Axial view; Image width 240 mm, 1.00 mm slice spacing; Slice 67/155
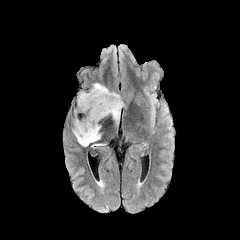
FLAIR magnetic resonance.
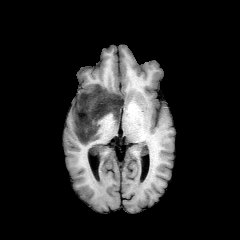
Same slice, T1-weighted MR.
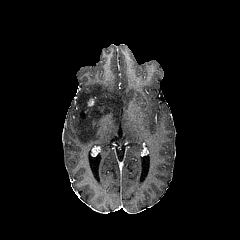
Post-contrast T1-weighted MRI.
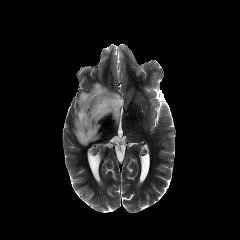
T2-weighted MR of the same slice.
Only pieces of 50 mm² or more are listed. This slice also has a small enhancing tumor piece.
<segmentation>
  <peritumoral_edema>(x1=72, y1=83, x2=124, y2=146)</peritumoral_edema>
</segmentation>